Image size 240x240; Slice 84 of 155
FLAIR MR image.
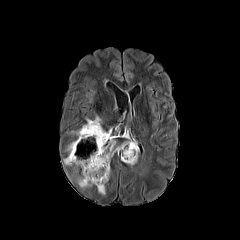
T1-weighted MR.
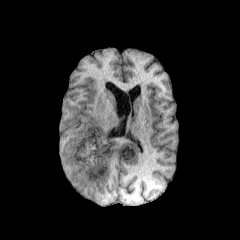
Post-contrast T1-weighted magnetic resonance.
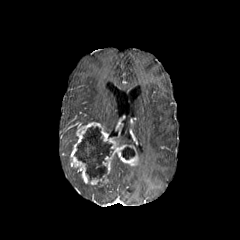
T2-weighted MR.
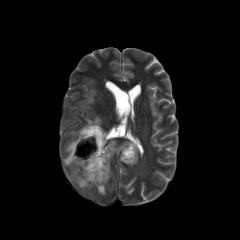
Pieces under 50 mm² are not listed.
peritumoral edema at x1=123, y1=141, x2=138, y2=152; x1=63, y1=140, x2=76, y2=165; x1=86, y1=116, x2=101, y2=123; x1=97, y1=185, x2=105, y2=194; x1=76, y1=176, x2=91, y2=188
necrotic tumor core at x1=75, y1=126, x2=113, y2=180; x1=122, y1=146, x2=135, y2=159
enhancing tumor at x1=70, y1=122, x2=138, y2=186